FLAIR MRI.
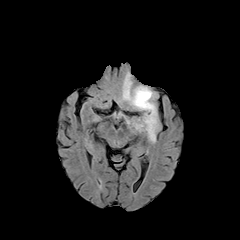
T1-weighted MR.
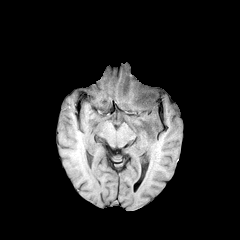
Post-contrast T1-weighted MRI.
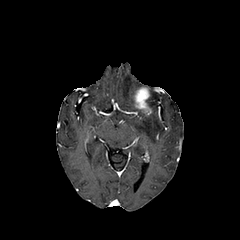
T2-weighted MR image.
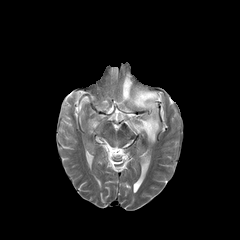
240x240
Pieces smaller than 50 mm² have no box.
peritumoral_edema:
  - bbox=[133, 91, 159, 142]
  - bbox=[122, 73, 139, 107]
enhancing_tumor:
  - bbox=[134, 87, 152, 115]